Brain, Image width 240 mm, 1.00 mm slice spacing, Axial plane, Slice 123/155
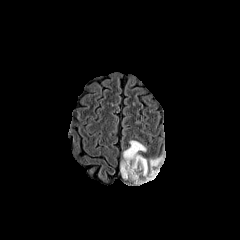
FLAIR MR image.
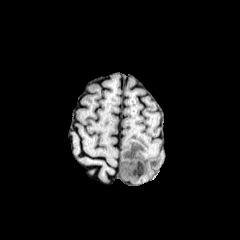
Same slice, T1-weighted MRI.
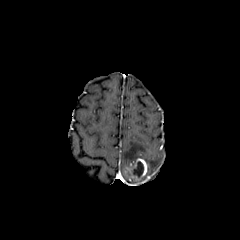
Post-contrast T1-weighted MR image of the same slice.
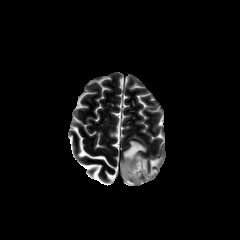
T2-weighted MRI.
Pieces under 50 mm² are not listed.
necrotic tumor core at left=133, top=161, right=143, bottom=177
enhancing tumor at left=121, top=158, right=154, bottom=184
peritumoral edema at left=148, top=155, right=163, bottom=178; left=120, top=140, right=147, bottom=170